FLAIR magnetic resonance.
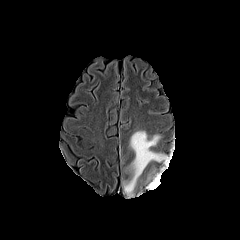
T1-weighted MR image.
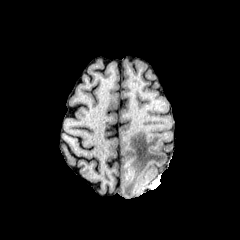
Post-contrast T1-weighted MR.
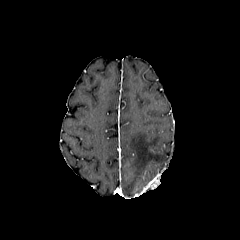
T2-weighted magnetic resonance.
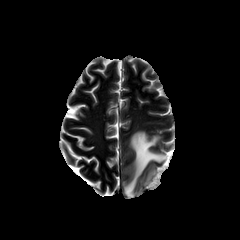
Axial view
Segmented structures:
* peritumoral edema: [123,131,166,196]